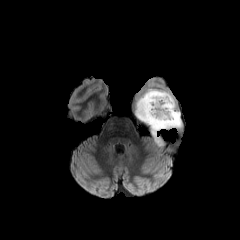
FLAIR magnetic resonance.
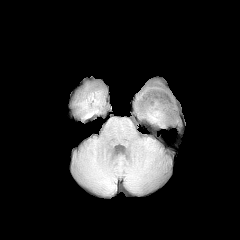
T1-weighted MRI.
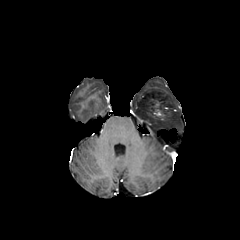
Same slice, post-contrast T1-weighted MRI.
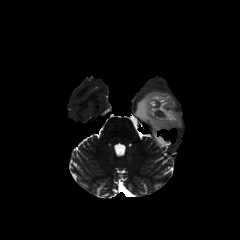
T2-weighted MRI.
Brain; Axial slice
peritumoral edema — bbox(136, 88, 182, 146)
enhancing tumor — bbox(148, 98, 174, 120)